FLAIR MR image.
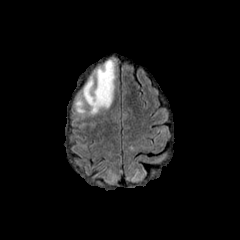
T1-weighted MR image.
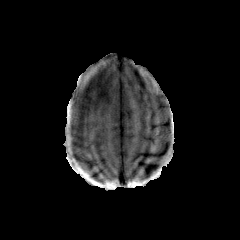
Post-contrast T1-weighted magnetic resonance.
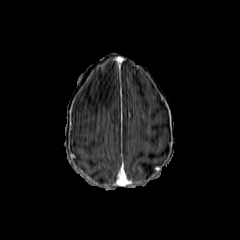
T2-weighted magnetic resonance.
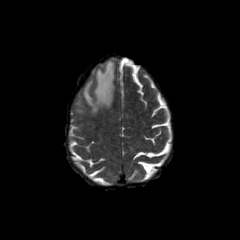
Head.
The peritumoral edema is at (75,59,115,115).